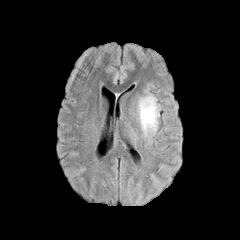
FLAIR MRI.
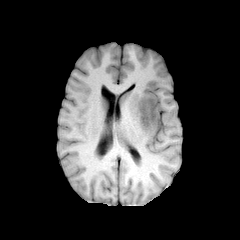
T1-weighted MR of the same slice.
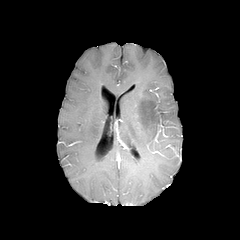
Post-contrast T1-weighted MR of the same slice.
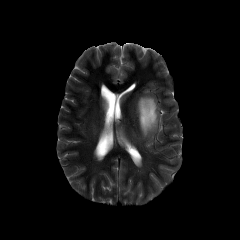
Same slice, T2-weighted MR.
Brain. Axial view. 240x240.
The peritumoral edema lies within 136:93:159:137.